Slice 49/155
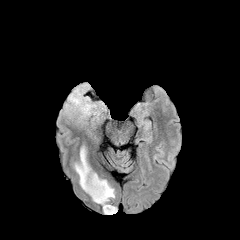
FLAIR magnetic resonance.
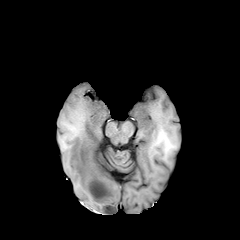
T1-weighted magnetic resonance of the same slice.
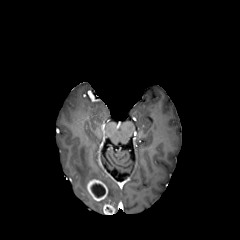
Post-contrast T1-weighted MR image of the same slice.
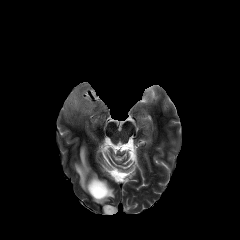
T2-weighted MR.
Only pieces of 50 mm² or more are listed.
The largest necrotic tumor core region is at bbox=[91, 184, 105, 197]. 2 enhancing tumor regions are located at bbox=[103, 204, 115, 214]; bbox=[87, 179, 108, 201]. The 2 largest peritumoral edema regions are located at bbox=[64, 86, 95, 129]; bbox=[74, 146, 114, 205].